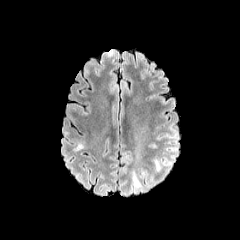
FLAIR MR.
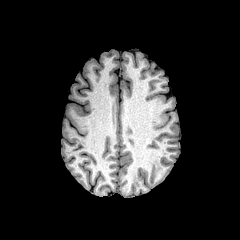
T1-weighted magnetic resonance.
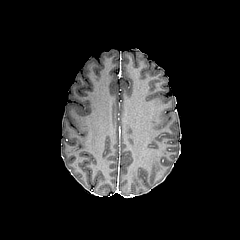
Post-contrast T1-weighted MR.
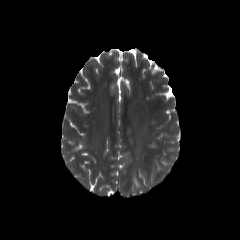
T2-weighted MR image.
Findings:
* peritumoral edema: box(132, 170, 141, 189); box(165, 156, 173, 170); box(153, 158, 160, 170)